FLAIR MR image.
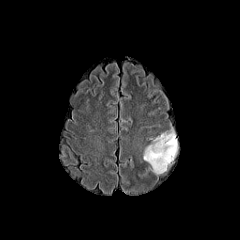
T1-weighted MR image.
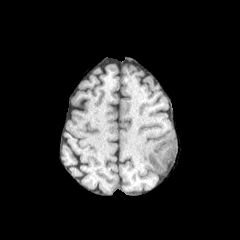
Post-contrast T1-weighted magnetic resonance.
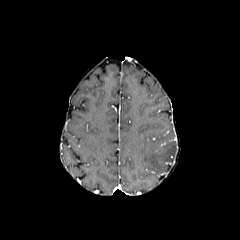
T2-weighted MRI.
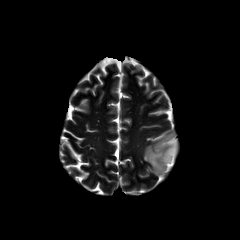
Brain; Image size 240x240; Axial plane
peritumoral edema — box=[143, 132, 177, 174]